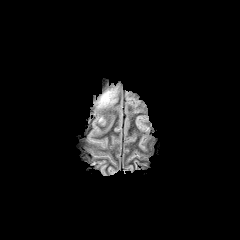
FLAIR MR image.
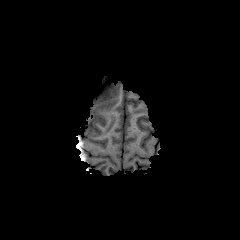
Same slice, T1-weighted MR.
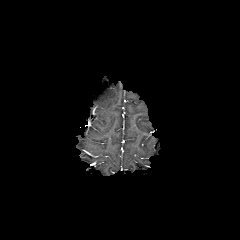
Post-contrast T1-weighted magnetic resonance of the same slice.
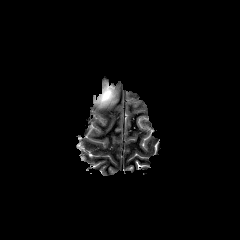
T2-weighted MRI.
Brain | Axial plane
{
  "peritumoral_edema": [
    "96, 88, 116, 107"
  ]
}